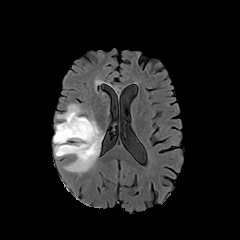
FLAIR magnetic resonance.
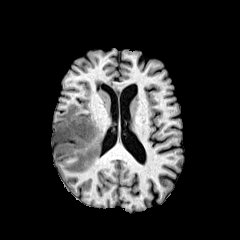
Same slice, T1-weighted MRI.
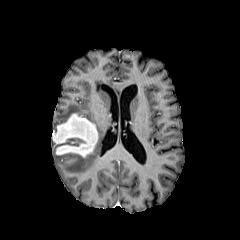
Post-contrast T1-weighted MRI.
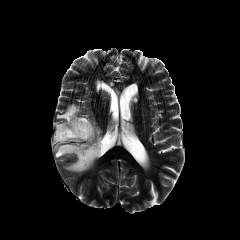
T2-weighted MR image of the same slice.
Brain
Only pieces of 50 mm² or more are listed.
peritumoral edema: bbox(56, 103, 85, 122); bbox(53, 116, 103, 173) | enhancing tumor: bbox(53, 113, 98, 157)